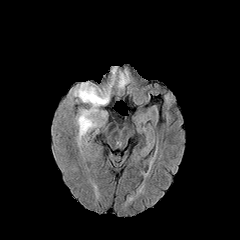
FLAIR magnetic resonance.
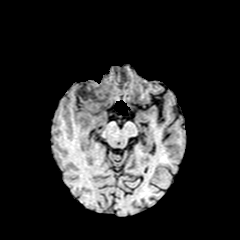
T1-weighted magnetic resonance.
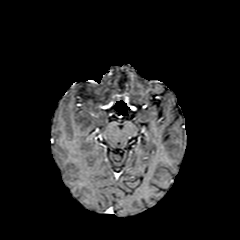
Post-contrast T1-weighted MR image.
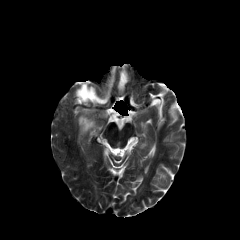
T2-weighted MR of the same slice.
240x240
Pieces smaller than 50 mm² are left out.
peritumoral edema: [75,79,113,137], [118,71,128,88]